FLAIR MR.
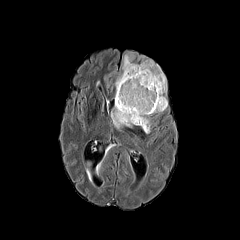
T1-weighted MRI.
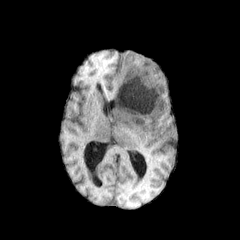
Post-contrast T1-weighted MR.
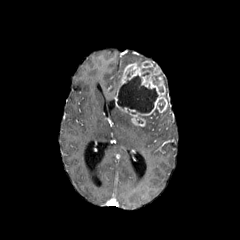
T2-weighted MR image.
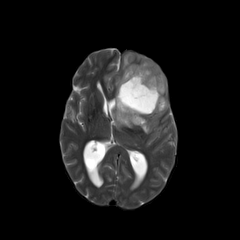
Axial view
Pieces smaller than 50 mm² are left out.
The 4 largest peritumoral edema regions appear at 115, 75, 121, 93; 142, 116, 150, 133; 110, 106, 133, 128; 122, 54, 132, 69. The enhancing tumor is located at 115, 60, 167, 126. The largest necrotic tumor core region is bounded by 117, 75, 158, 113.